FLAIR MRI.
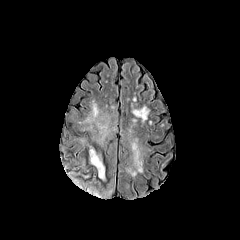
T1-weighted MRI.
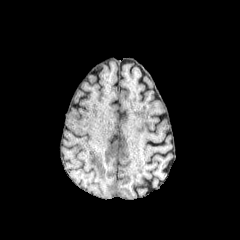
Post-contrast T1-weighted MRI.
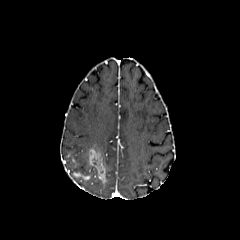
T2-weighted MR image.
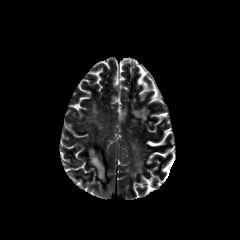
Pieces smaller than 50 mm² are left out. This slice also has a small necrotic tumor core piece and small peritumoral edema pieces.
* enhancing tumor: (89, 149, 105, 183)